FLAIR MRI.
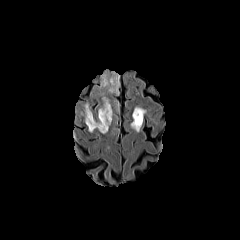
T1-weighted MR.
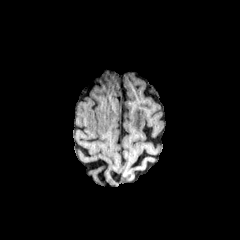
Post-contrast T1-weighted magnetic resonance.
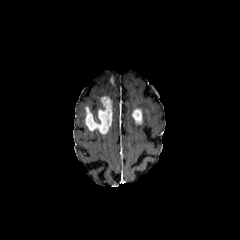
T2-weighted MRI.
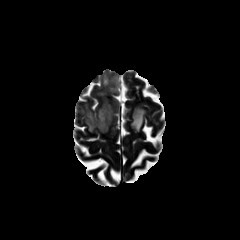
Axial plane
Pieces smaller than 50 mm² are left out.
Annotated regions:
* enhancing tumor: (132,108,142,124), (85,96,112,134)
* peritumoral edema: (80,102,92,117), (130,118,142,132), (98,72,120,95), (134,106,146,121)